FLAIR MRI.
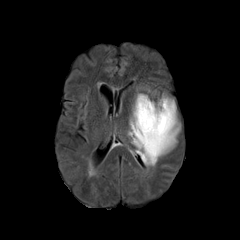
T1-weighted MR.
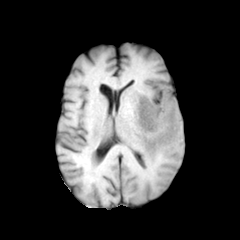
Post-contrast T1-weighted magnetic resonance.
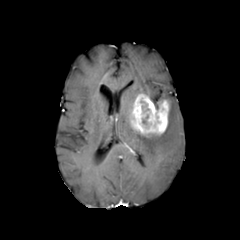
T2-weighted magnetic resonance.
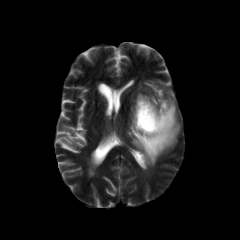
Image size 240x240, Brain
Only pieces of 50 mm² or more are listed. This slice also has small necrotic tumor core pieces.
{"peritumoral_edema": ["x1=127, y1=94, x2=180, y2=166"], "enhancing_tumor": ["x1=131, y1=94, x2=169, y2=136"]}